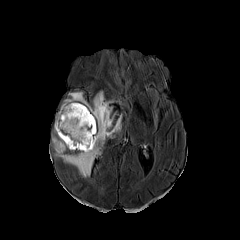
FLAIR MR image.
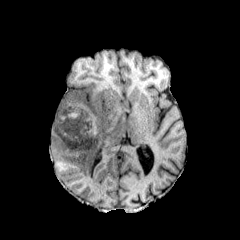
T1-weighted MR of the same slice.
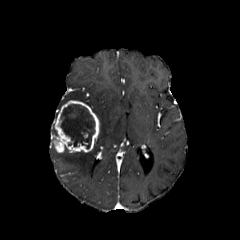
Post-contrast T1-weighted MR.
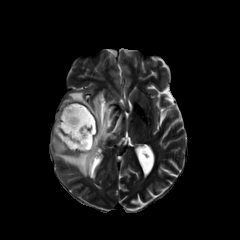
T2-weighted magnetic resonance.
Axial plane.
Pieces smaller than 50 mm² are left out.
enhancing_tumor:
  - <bbox>52, 100, 99, 152</bbox>
necrotic_tumor_core:
  - <bbox>60, 104, 95, 148</bbox>
peritumoral_edema:
  - <bbox>54, 91, 122, 177</bbox>
  - <bbox>62, 91, 86, 104</bbox>